Axial plane
FLAIR magnetic resonance.
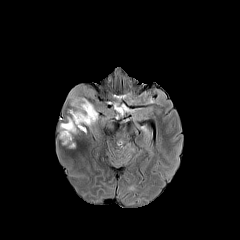
T1-weighted MR.
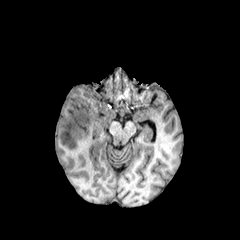
Post-contrast T1-weighted MR.
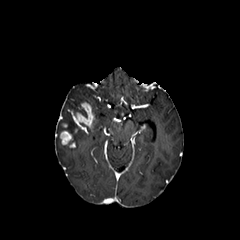
T2-weighted MRI.
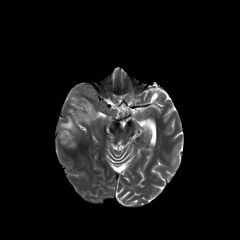
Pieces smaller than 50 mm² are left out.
Annotated regions:
* peritumoral edema: box(89, 103, 97, 123); box(69, 87, 92, 117); box(60, 117, 80, 133)
* enhancing tumor: box(60, 130, 75, 147); box(68, 102, 95, 132)